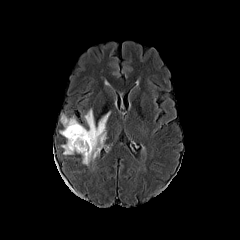
FLAIR MR.
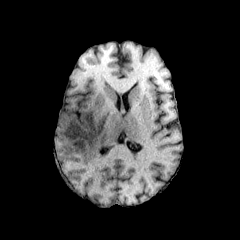
T1-weighted MR.
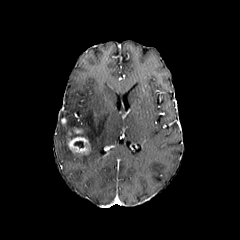
Post-contrast T1-weighted MR image of the same slice.
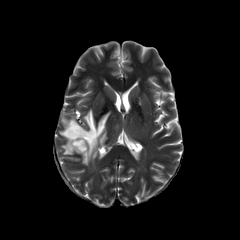
T2-weighted MRI.
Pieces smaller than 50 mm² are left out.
enhancing_tumor:
  - [x1=68, y1=127, x2=90, y2=154]
peritumoral_edema:
  - [x1=59, y1=109, x2=110, y2=165]
necrotic_tumor_core:
  - [x1=74, y1=141, x2=83, y2=147]